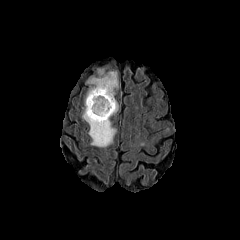
FLAIR MR.
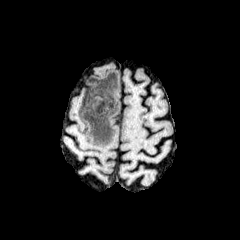
T1-weighted MRI.
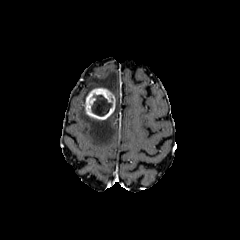
Post-contrast T1-weighted MR.
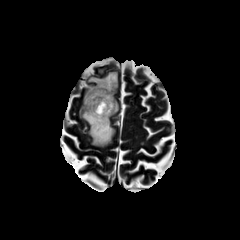
T2-weighted magnetic resonance.
240x240 px
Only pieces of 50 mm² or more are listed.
{
  "necrotic_tumor_core": [
    "region(91, 95, 112, 115)"
  ],
  "enhancing_tumor": [
    "region(84, 88, 115, 120)"
  ],
  "peritumoral_edema": [
    "region(87, 71, 118, 95)",
    "region(82, 107, 115, 147)"
  ]
}